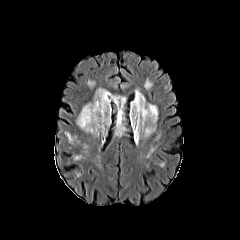
FLAIR MRI.
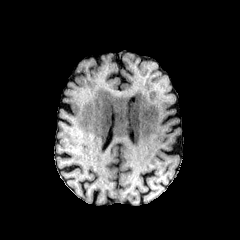
T1-weighted MR image of the same slice.
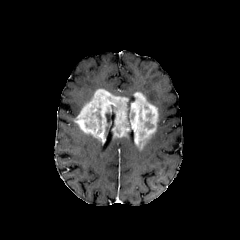
Post-contrast T1-weighted magnetic resonance of the same slice.
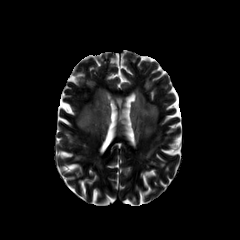
Same slice, T2-weighted MR image.
Head; Axial slice
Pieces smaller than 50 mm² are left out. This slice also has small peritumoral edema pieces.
The enhancing tumor lies within l=75, t=89, r=158, b=146. The necrotic tumor core is located at l=147, t=114, r=151, b=127.